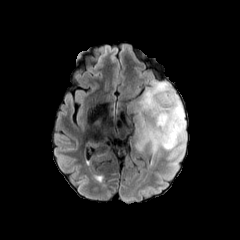
FLAIR magnetic resonance.
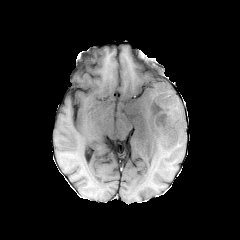
T1-weighted MRI.
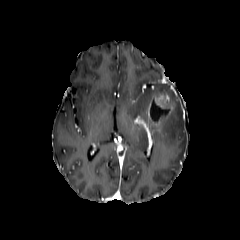
Post-contrast T1-weighted magnetic resonance.
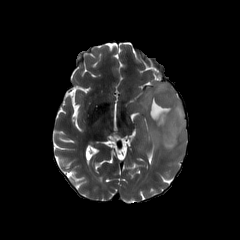
Same slice, T2-weighted MR image.
Head
The enhancing tumor appears at x1=148, y1=92, x2=175, y2=124. The necrotic tumor core is located at x1=150, y1=101, x2=168, y2=121. The peritumoral edema appears at x1=129, y1=81, x2=186, y2=152.